Slice index 121, Axial plane, Brain
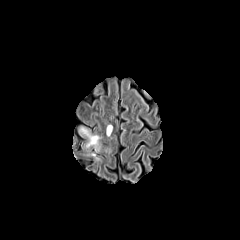
FLAIR MRI.
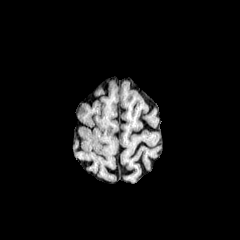
T1-weighted magnetic resonance.
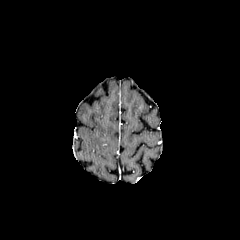
Post-contrast T1-weighted MR image.
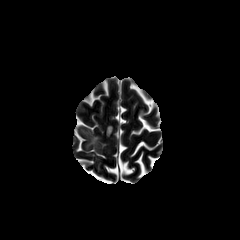
T2-weighted MRI of the same slice.
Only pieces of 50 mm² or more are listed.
Findings:
* peritumoral edema: 106 125 112 136, 80 127 100 150